FLAIR MR image.
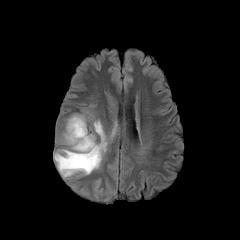
T1-weighted MR.
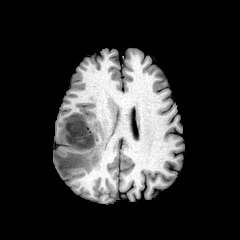
Post-contrast T1-weighted MR.
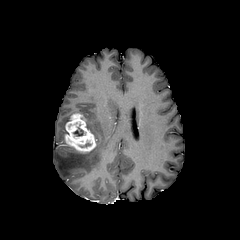
T2-weighted MR image.
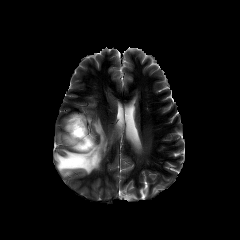
Axial view
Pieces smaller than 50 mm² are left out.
The largest necrotic tumor core region lies within (left=74, top=128, right=83, bottom=135). The enhancing tumor is at (left=64, top=114, right=96, bottom=153). The peritumoral edema appears at (left=54, top=120, right=107, bottom=176).